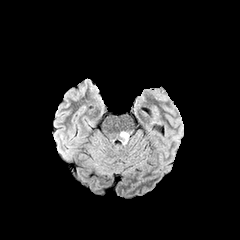
FLAIR MRI.
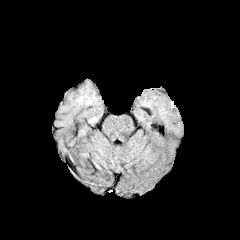
Same slice, T1-weighted MRI.
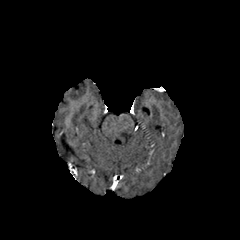
Same slice, post-contrast T1-weighted MR image.
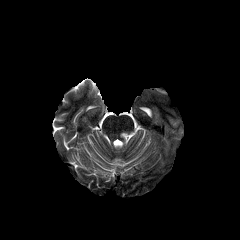
T2-weighted MR.
240x240 px; Axial view; Head
The peritumoral edema appears at 120, 132, 128, 143.